Slice 55/155; Head; Image covers 240 mm x 240 mm
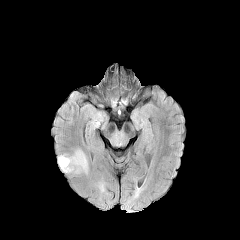
FLAIR MRI.
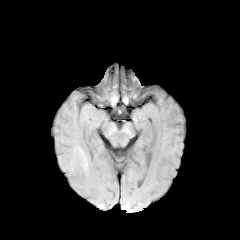
T1-weighted MR of the same slice.
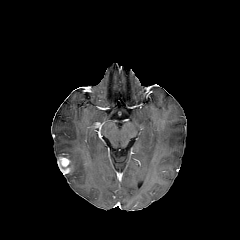
Post-contrast T1-weighted MR image of the same slice.
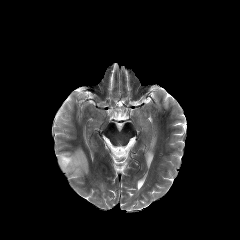
T2-weighted MR image.
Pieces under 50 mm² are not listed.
Segmented structures:
- enhancing tumor: 57 157 72 173
- peritumoral edema: 58 149 88 175